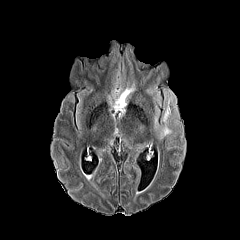
FLAIR MRI.
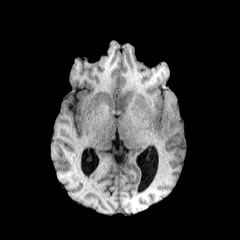
T1-weighted MRI.
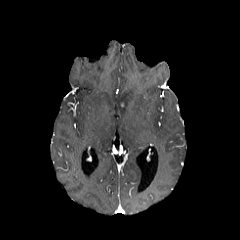
Post-contrast T1-weighted magnetic resonance.
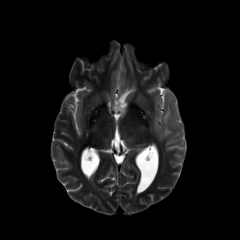
T2-weighted MRI of the same slice.
Head
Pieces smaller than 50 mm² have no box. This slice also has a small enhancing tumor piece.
peritumoral edema — bbox=[113, 87, 134, 109]; bbox=[154, 116, 159, 131]; bbox=[160, 102, 178, 137]